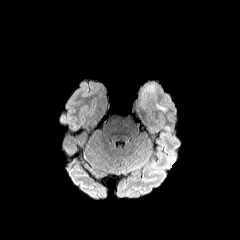
FLAIR magnetic resonance.
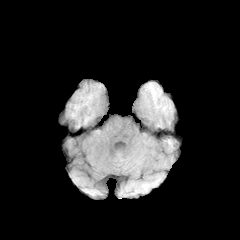
T1-weighted MR image of the same slice.
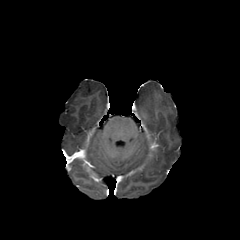
Post-contrast T1-weighted MR image.
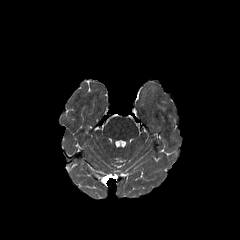
T2-weighted MRI of the same slice.
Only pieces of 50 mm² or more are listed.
peritumoral edema — {"x1": 139, "y1": 84, "x2": 157, "y2": 108}